240x240. Slice 101/155.
FLAIR magnetic resonance.
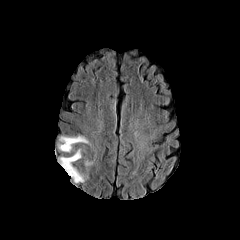
T1-weighted MRI.
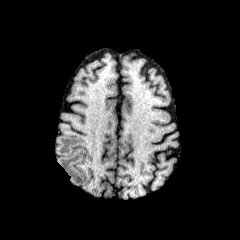
Post-contrast T1-weighted MRI.
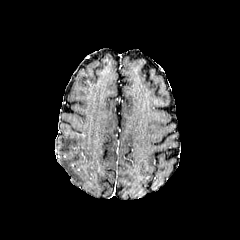
T2-weighted MR image.
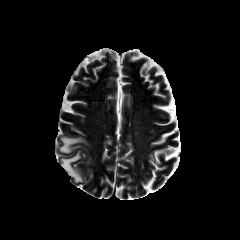
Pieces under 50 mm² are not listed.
peritumoral_edema:
  - region(59, 150, 84, 182)
  - region(58, 136, 88, 152)